FLAIR MRI.
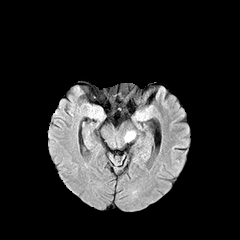
T1-weighted MR image.
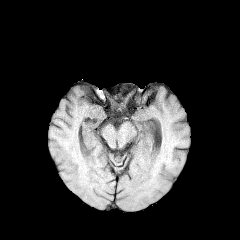
Post-contrast T1-weighted MRI.
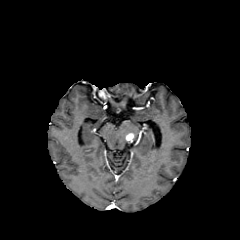
T2-weighted MR image.
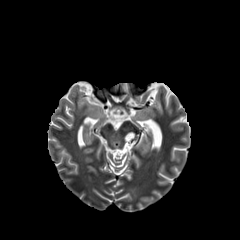
Head.
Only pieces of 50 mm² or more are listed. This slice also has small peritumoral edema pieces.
The enhancing tumor lies within bbox(125, 133, 134, 141).